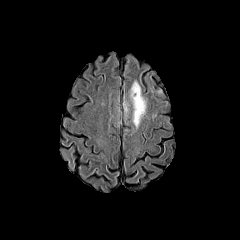
FLAIR MRI.
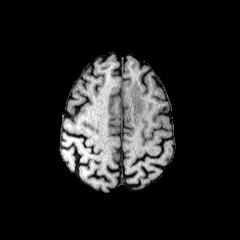
T1-weighted MRI.
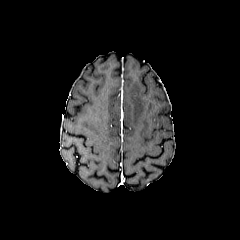
Same slice, post-contrast T1-weighted MR image.
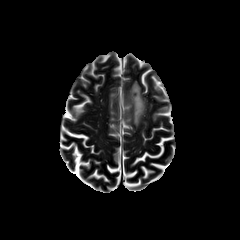
Same slice, T2-weighted MR image.
Head; Image size 240x240; Axial plane
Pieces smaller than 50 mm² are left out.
The largest peritumoral edema region is located at (x1=130, y1=81, x2=146, y2=128).